Image width 240 mm, 1.00 mm slice spacing. Slice 121/155. Brain. 240x240 px.
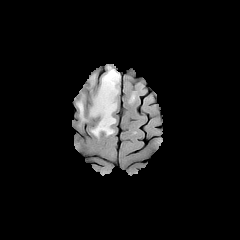
FLAIR MR image.
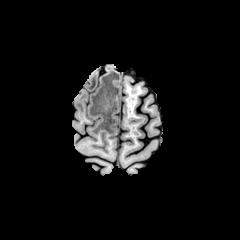
T1-weighted magnetic resonance.
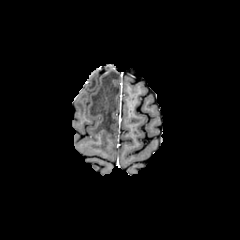
Post-contrast T1-weighted MR.
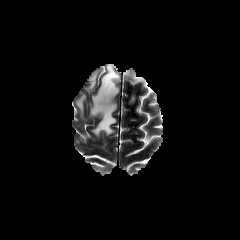
T2-weighted MR.
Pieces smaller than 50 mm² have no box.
Findings:
• peritumoral edema: [x1=76, y1=98, x2=84, y2=119], [x1=90, y1=66, x2=120, y2=136]